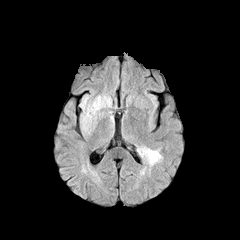
FLAIR magnetic resonance.
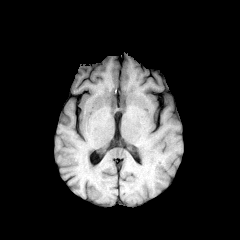
T1-weighted magnetic resonance.
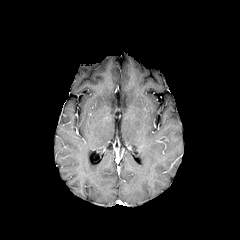
Post-contrast T1-weighted MR of the same slice.
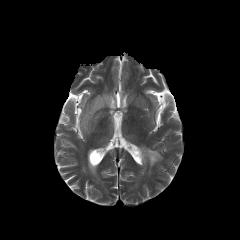
T2-weighted MR image.
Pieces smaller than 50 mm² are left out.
peritumoral edema: [137,147,162,165], [80,96,110,138]